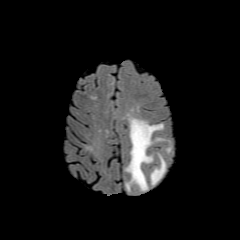
FLAIR MRI.
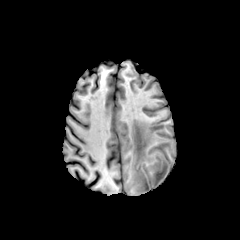
T1-weighted magnetic resonance of the same slice.
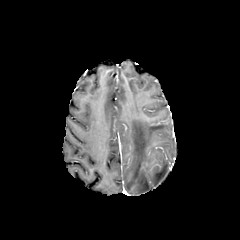
Same slice, post-contrast T1-weighted MR image.
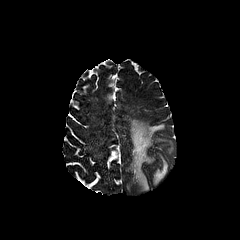
T2-weighted MR image.
Brain
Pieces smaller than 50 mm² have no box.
Segmented structures:
* peritumoral edema: x1=126, y1=118, x2=164, y2=190; x1=151, y1=154, x2=166, y2=184